FLAIR MRI.
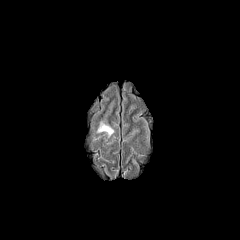
T1-weighted magnetic resonance.
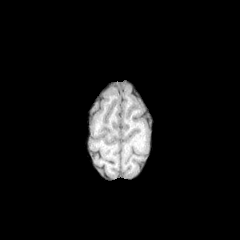
Post-contrast T1-weighted MR.
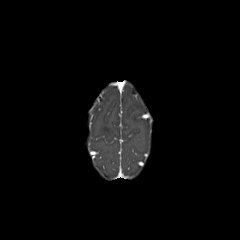
T2-weighted MR image.
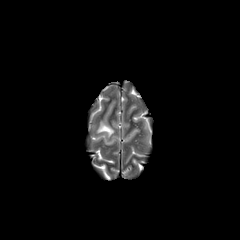
Brain | Axial plane | 240x240 px
• peritumoral edema: x1=97, y1=122, x2=113, y2=137